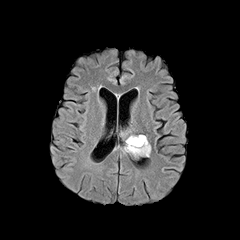
FLAIR MR.
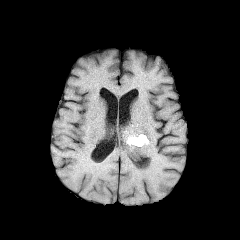
T1-weighted MR of the same slice.
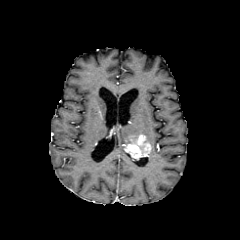
Post-contrast T1-weighted MR of the same slice.
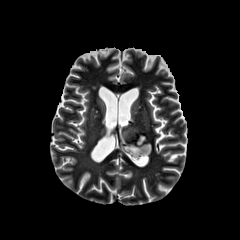
T2-weighted MRI of the same slice.
Axial slice
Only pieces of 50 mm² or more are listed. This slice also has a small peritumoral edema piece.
- enhancing tumor: <box>124,138,151,159</box>